Slice 68/155, Image size 240x240, Image width 240 mm, 1.00 mm slice spacing, Head
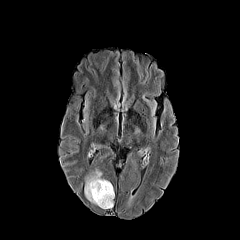
FLAIR MR.
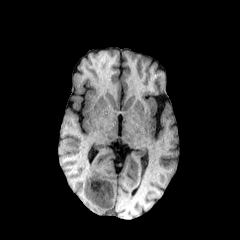
Same slice, T1-weighted MRI.
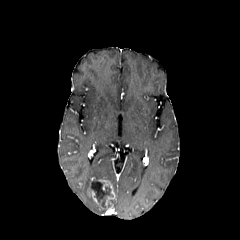
Post-contrast T1-weighted MRI of the same slice.
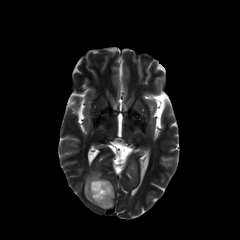
Same slice, T2-weighted magnetic resonance.
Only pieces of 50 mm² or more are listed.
The largest necrotic tumor core region lies within 91, 180, 111, 207. The largest peritumoral edema region is bounded by 84, 170, 101, 204. The enhancing tumor appears at 87, 177, 114, 208.